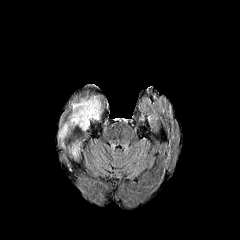
FLAIR MRI.
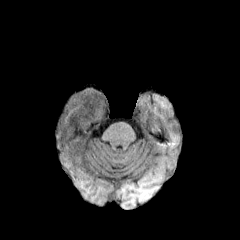
T1-weighted MR image.
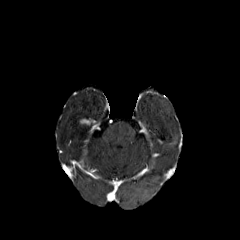
Post-contrast T1-weighted MR.
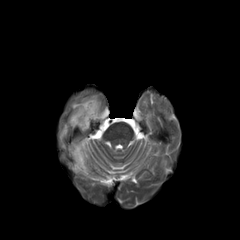
T2-weighted MR image.
Brain
2 peritumoral edema regions appear at box(59, 95, 103, 140); box(71, 141, 82, 156). The enhancing tumor is located at box(79, 118, 90, 125).